FLAIR MR.
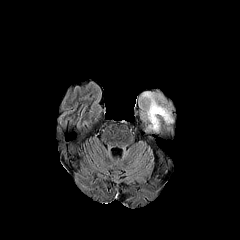
T1-weighted magnetic resonance.
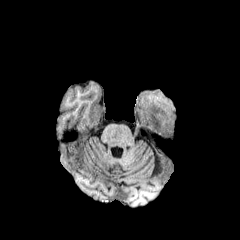
Post-contrast T1-weighted magnetic resonance.
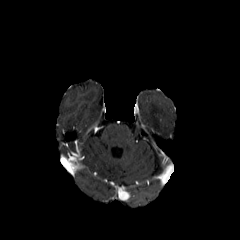
T2-weighted magnetic resonance.
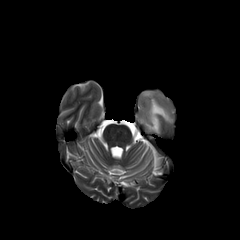
Brain
peritumoral edema at bbox=[139, 91, 174, 132]